FLAIR MRI.
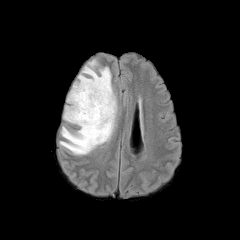
T1-weighted MR image.
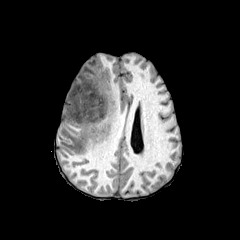
Post-contrast T1-weighted MR image.
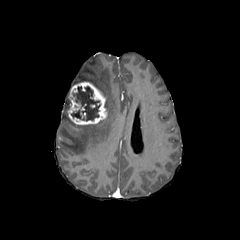
T2-weighted magnetic resonance.
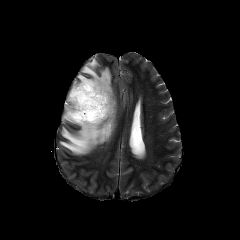
Head
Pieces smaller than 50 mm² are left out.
The largest enhancing tumor region is located at (67,81,107,125). The 2 largest peritumoral edema regions are bounded by (59,59,117,155), (63,105,74,123). The necrotic tumor core is located at (71,86,100,120).